Axial slice. Image covers 240 mm x 240 mm.
FLAIR MRI.
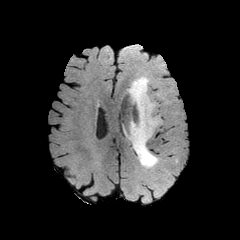
T1-weighted MR.
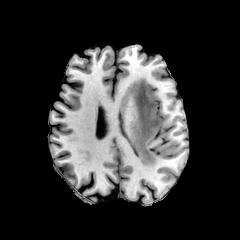
Post-contrast T1-weighted magnetic resonance.
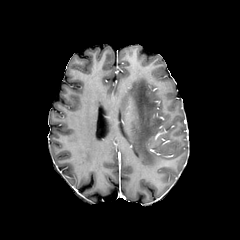
T2-weighted magnetic resonance.
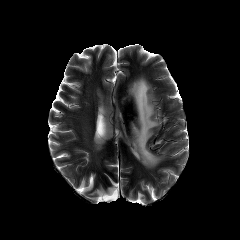
Annotated regions:
* peritumoral edema: {"x1": 128, "y1": 76, "x2": 160, "y2": 168}